FLAIR MR image.
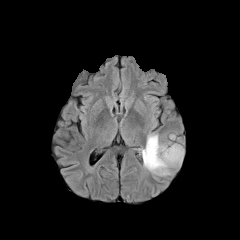
T1-weighted MR image.
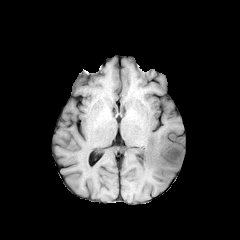
Post-contrast T1-weighted MR image.
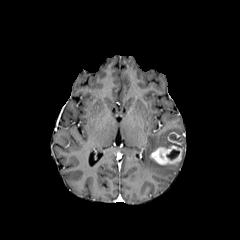
T2-weighted MRI.
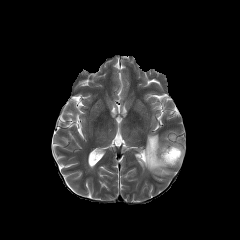
Image size 240x240
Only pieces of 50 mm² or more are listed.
The largest peritumoral edema region is at 142 134 183 175. The enhancing tumor is located at 150 145 182 164. The necrotic tumor core lies within 167 149 179 159.